FLAIR MR.
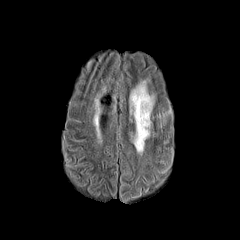
T1-weighted magnetic resonance.
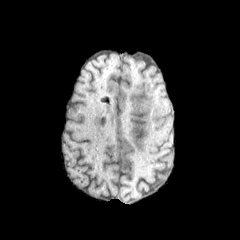
Post-contrast T1-weighted MRI.
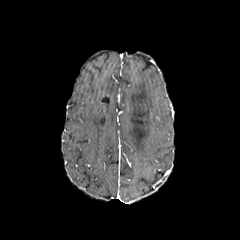
T2-weighted MR.
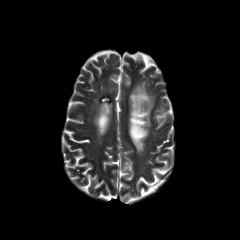
{
  "peritumoral_edema": [
    "region(130, 81, 153, 152)"
  ]
}